Axial view.
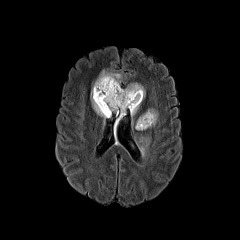
FLAIR MR.
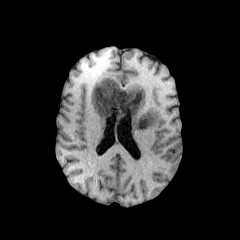
T1-weighted MR of the same slice.
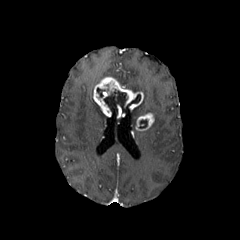
Post-contrast T1-weighted MRI.
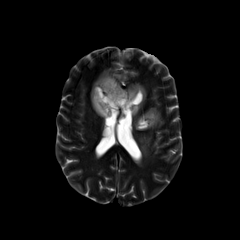
T2-weighted MRI.
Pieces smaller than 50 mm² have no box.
peritumoral edema: (144, 108, 158, 127), (91, 70, 122, 124), (124, 83, 145, 97), (130, 105, 139, 117), (139, 136, 150, 155)
enhancing tumor: (117, 105, 125, 118), (93, 76, 143, 117), (135, 113, 154, 130)
necrotic tumor core: (103, 89, 140, 115), (139, 120, 147, 128)